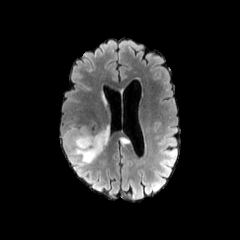
FLAIR MR.
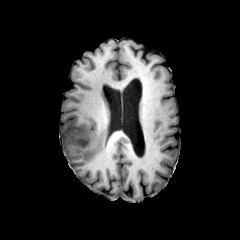
Same slice, T1-weighted magnetic resonance.
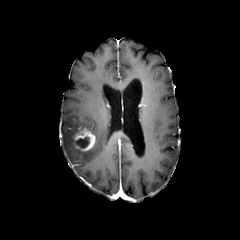
Post-contrast T1-weighted MR image.
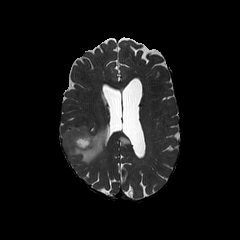
T2-weighted MR image of the same slice.
Image size 240x240; Head
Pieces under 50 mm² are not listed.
The enhancing tumor is bounded by box(74, 127, 96, 151). The 2 largest peritumoral edema regions are bounded by box(62, 118, 110, 162); box(119, 136, 130, 144). The necrotic tumor core is located at box(76, 135, 91, 148).